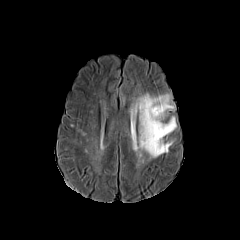
FLAIR MRI.
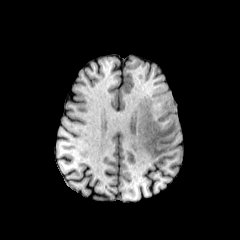
Same slice, T1-weighted MRI.
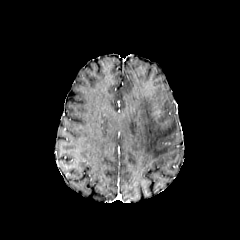
Same slice, post-contrast T1-weighted MR.
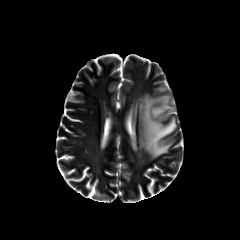
T2-weighted magnetic resonance.
240x240; Brain
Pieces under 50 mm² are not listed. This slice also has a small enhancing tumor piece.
peritumoral edema: bbox=[136, 93, 176, 158]